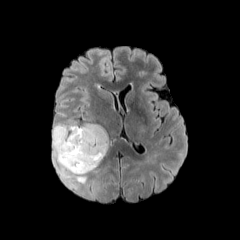
FLAIR MRI.
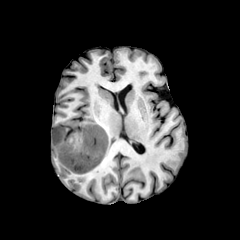
T1-weighted magnetic resonance of the same slice.
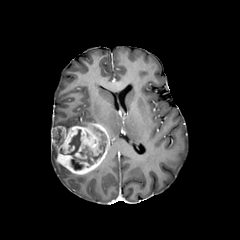
Post-contrast T1-weighted MR image.
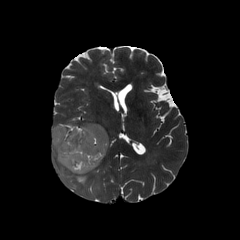
Same slice, T2-weighted MR image.
Brain.
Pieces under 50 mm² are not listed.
necrotic_tumor_core:
  - left=67, top=129, right=106, bottom=170
  - left=56, top=129, right=62, bottom=142
peritumoral_edema:
  - left=52, top=123, right=78, bottom=132
  - left=52, top=143, right=86, bottom=183
enhancing_tumor:
  - left=52, top=123, right=110, bottom=174